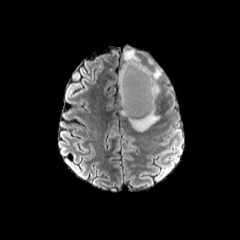
FLAIR magnetic resonance.
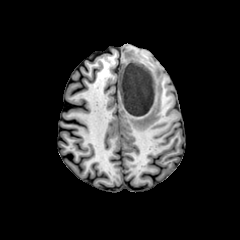
T1-weighted MR.
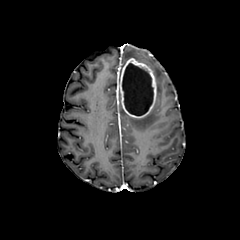
Same slice, post-contrast T1-weighted MRI.
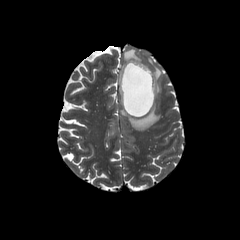
T2-weighted MR.
Head | Image size 240x240
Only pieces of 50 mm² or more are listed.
Annotated regions:
• necrotic tumor core: (x1=122, y1=63, x2=153, y2=115)
• peritumoral edema: (x1=121, y1=103, x2=159, y2=131), (x1=123, y1=49, x2=140, y2=61), (x1=153, y1=67, x2=162, y2=81)
• enhancing tumor: (x1=119, y1=58, x2=156, y2=118)